FLAIR MR.
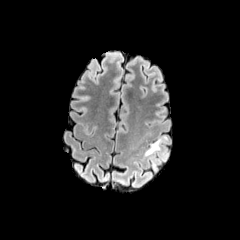
T1-weighted MR image.
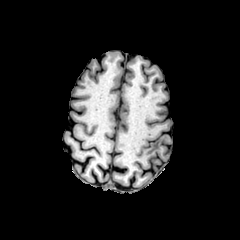
Post-contrast T1-weighted MRI.
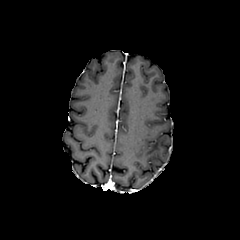
T2-weighted MR.
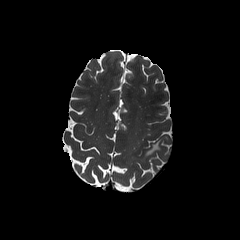
Head. Axial plane.
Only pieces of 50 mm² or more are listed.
The largest peritumoral edema region lies within (x1=145, y1=139, x2=161, y2=155).